240x240
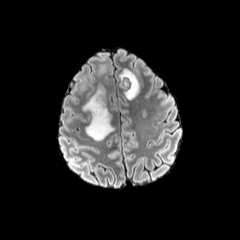
FLAIR MR.
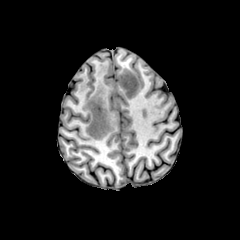
Same slice, T1-weighted MRI.
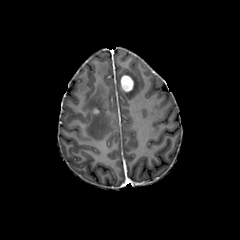
Post-contrast T1-weighted MR image of the same slice.
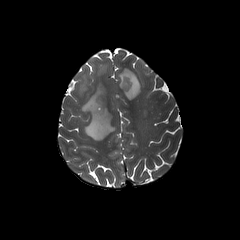
T2-weighted MR image of the same slice.
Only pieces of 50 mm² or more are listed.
necrotic_tumor_core:
  - 124,77,131,90
enhancing_tumor:
  - 120,75,134,92
peritumoral_edema:
  - 79,70,88,93
  - 119,66,140,101
  - 82,61,114,140